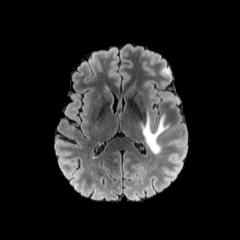
FLAIR MR image.
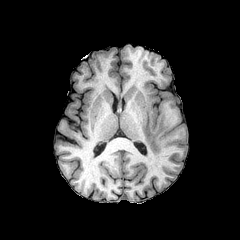
T1-weighted MRI.
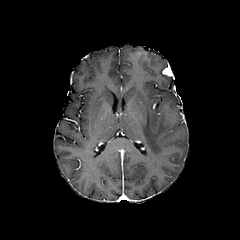
Post-contrast T1-weighted MRI.
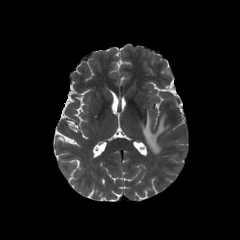
T2-weighted MR of the same slice.
Brain. Axial slice.
• peritumoral edema: bbox(140, 111, 169, 153)